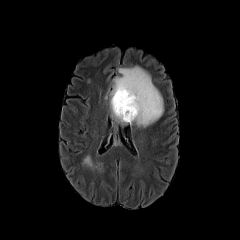
FLAIR MRI.
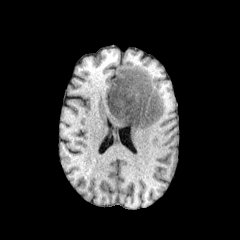
Same slice, T1-weighted magnetic resonance.
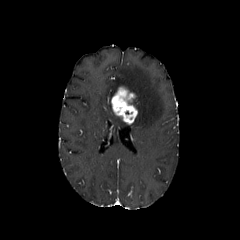
Post-contrast T1-weighted MR of the same slice.
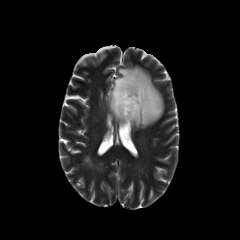
T2-weighted MRI of the same slice.
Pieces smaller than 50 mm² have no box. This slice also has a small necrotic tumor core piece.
{"peritumoral_edema": ["bbox(110, 66, 163, 127)", "bbox(111, 111, 127, 126)", "bbox(83, 155, 96, 168)"], "enhancing_tumor": ["bbox(111, 86, 137, 124)"]}